Image width 240 mm; Head
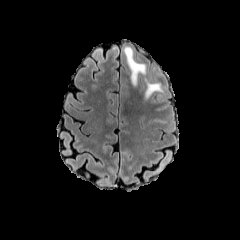
FLAIR MR image.
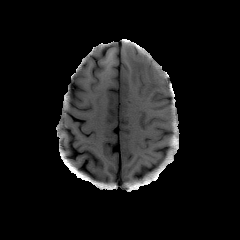
T1-weighted magnetic resonance.
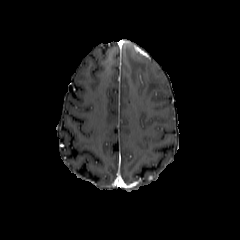
Post-contrast T1-weighted MR.
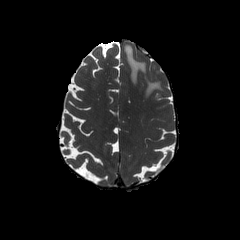
Same slice, T2-weighted MR.
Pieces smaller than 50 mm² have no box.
peritumoral edema at (124,45,146,85), (145,77,162,98)